Slice 120/155. Brain. Axial plane. Image size 240x240.
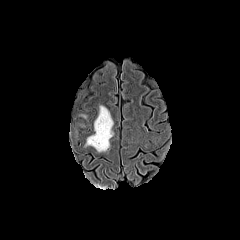
FLAIR MR image.
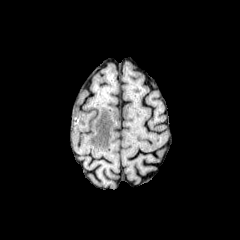
T1-weighted MR image.
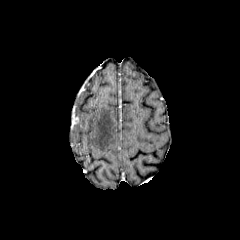
Post-contrast T1-weighted MR of the same slice.
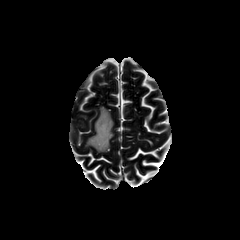
T2-weighted MR.
The peritumoral edema is at bbox(86, 106, 113, 152).